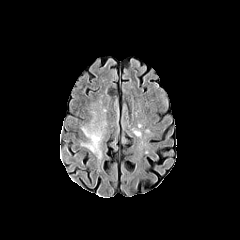
FLAIR MR image.
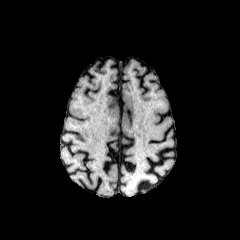
Same slice, T1-weighted MR image.
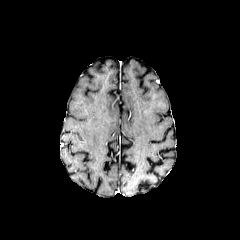
Same slice, post-contrast T1-weighted MR.
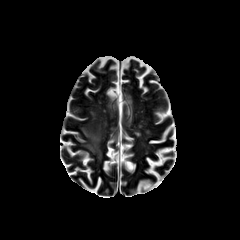
T2-weighted MR image.
240x240 px; Axial plane
<segmentation>
  <peritumoral_edema>{"x1": 83, "y1": 128, "x2": 101, "y2": 158}</peritumoral_edema>
</segmentation>